FLAIR MR image.
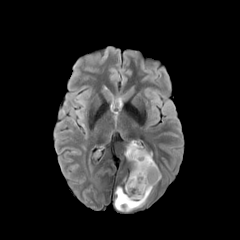
T1-weighted magnetic resonance.
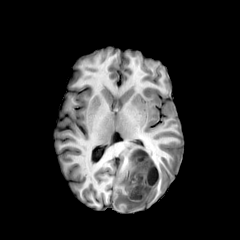
Post-contrast T1-weighted MR image.
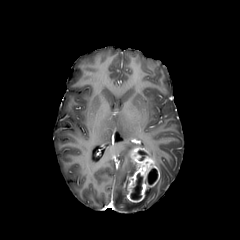
T2-weighted MRI.
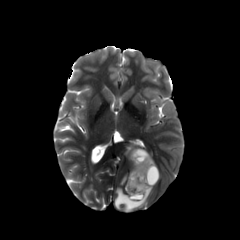
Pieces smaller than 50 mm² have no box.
peritumoral edema = rect(114, 187, 152, 211); rect(125, 142, 139, 160)
enhancing tumor = rect(126, 147, 159, 202)
necrotic tumor core = rect(147, 168, 157, 184); rect(138, 150, 147, 160); rect(131, 173, 142, 199)